FLAIR MR image.
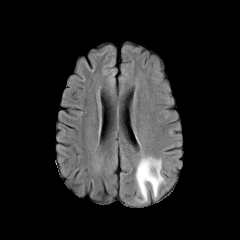
T1-weighted magnetic resonance.
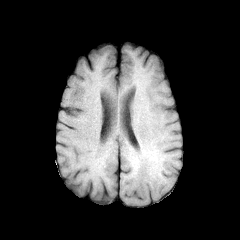
Post-contrast T1-weighted MRI.
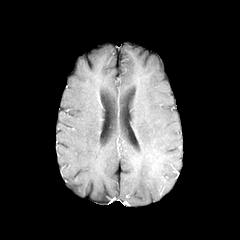
T2-weighted MRI.
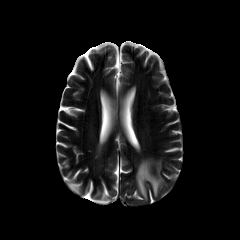
Head, Image size 240x240
<segmentation>
  <peritumoral_edema>(135, 156, 165, 203)</peritumoral_edema>
</segmentation>